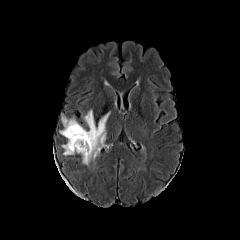
FLAIR MR image.
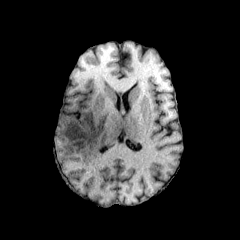
T1-weighted MR.
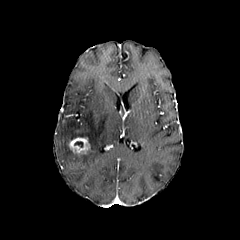
Post-contrast T1-weighted MR image of the same slice.
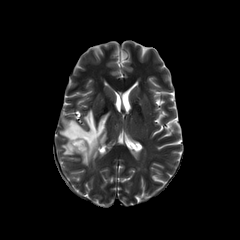
T2-weighted MR image of the same slice.
Brain | Axial slice | 240x240 px
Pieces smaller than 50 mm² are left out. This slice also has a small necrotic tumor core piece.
The peritumoral edema is at (59,109,109,165). The enhancing tumor appears at (68,136,90,154).